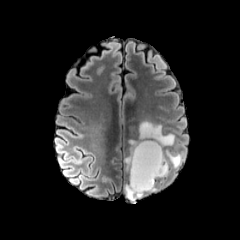
FLAIR MR image.
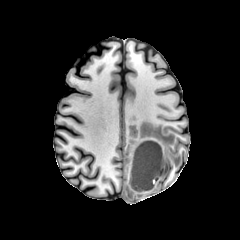
Same slice, T1-weighted MR.
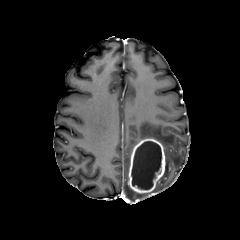
Post-contrast T1-weighted MRI of the same slice.
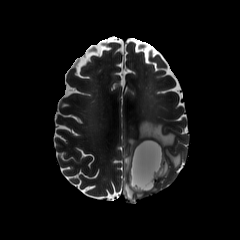
Same slice, T2-weighted MR.
Head; Axial view; Image size 240x240
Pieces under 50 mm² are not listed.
peritumoral edema: bounding box bbox(124, 121, 182, 179); bbox(124, 182, 148, 201)
necrotic tumor core: bounding box bbox(131, 141, 161, 189)
enhancing tumor: bounding box bbox(128, 138, 165, 194)